Slice 131 of 155 | Image covers 240 mm x 240 mm | Axial view
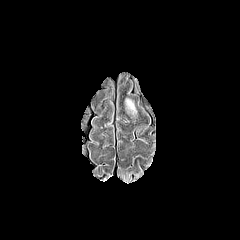
FLAIR MRI.
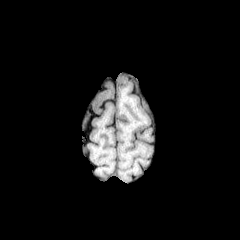
T1-weighted MR image.
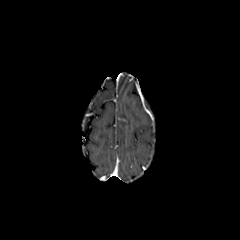
Post-contrast T1-weighted magnetic resonance.
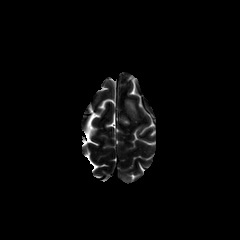
Same slice, T2-weighted MRI.
peritumoral_edema:
  - box=[125, 99, 134, 111]